Slice index 53. Head.
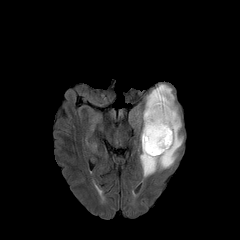
FLAIR magnetic resonance.
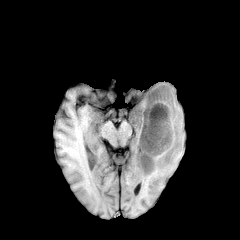
T1-weighted MR image.
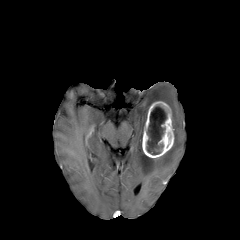
Post-contrast T1-weighted MRI of the same slice.
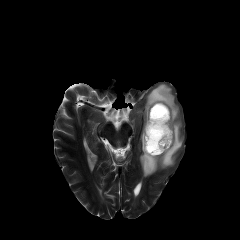
T2-weighted magnetic resonance.
peritumoral_edema:
  - <bbox>137, 83, 183, 177</bbox>
necrotic_tumor_core:
  - <bbox>147, 105, 166, 154</bbox>
enhancing_tumor:
  - <bbox>142, 101, 174, 158</bbox>